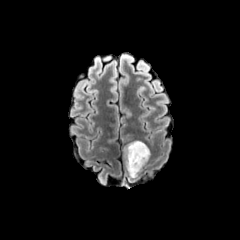
FLAIR MR.
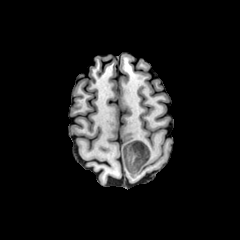
T1-weighted magnetic resonance.
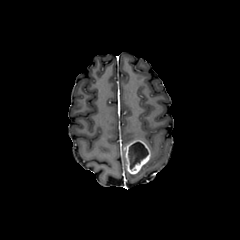
Post-contrast T1-weighted magnetic resonance.
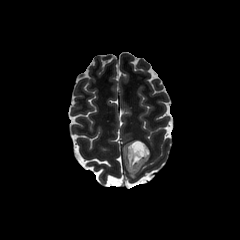
T2-weighted MR image of the same slice.
Brain. Image size 240x240.
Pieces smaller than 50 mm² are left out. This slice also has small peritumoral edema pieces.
necrotic tumor core = (128, 142, 148, 169)
enhancing tumor = (123, 140, 150, 174)